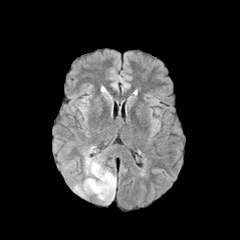
FLAIR MR image.
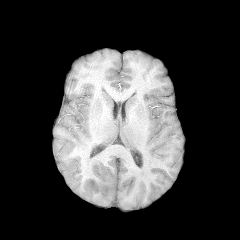
Same slice, T1-weighted magnetic resonance.
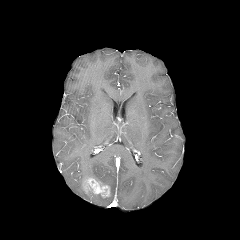
Post-contrast T1-weighted MR.
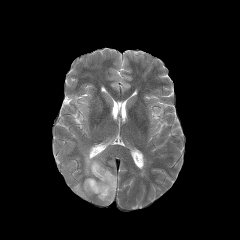
Same slice, T2-weighted MRI.
Head | Axial slice
enhancing tumor: <bbox>83, 178, 110, 197</bbox> | peritumoral edema: <bbox>72, 146, 116, 205</bbox>